Axial slice | Image size 240x240
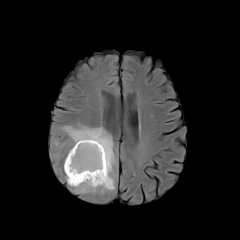
FLAIR MR image.
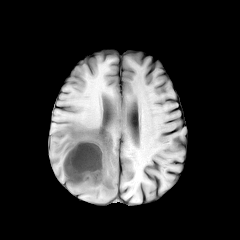
T1-weighted magnetic resonance of the same slice.
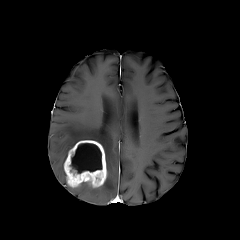
Post-contrast T1-weighted MRI of the same slice.
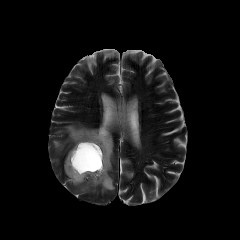
T2-weighted MR image of the same slice.
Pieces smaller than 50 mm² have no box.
peritumoral_edema:
  - bbox=[53, 125, 115, 193]
enhancing_tumor:
  - bbox=[64, 140, 106, 187]
necrotic_tumor_core:
  - bbox=[71, 143, 101, 173]